Image size 240x240. Image width 240 mm, 1.00 mm slice spacing. Brain. Axial view.
FLAIR MR image.
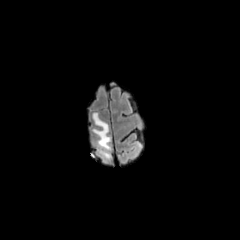
T1-weighted MRI.
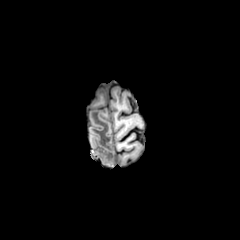
Post-contrast T1-weighted magnetic resonance.
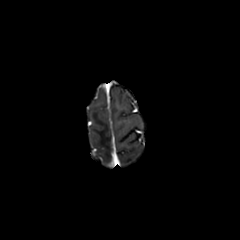
T2-weighted magnetic resonance.
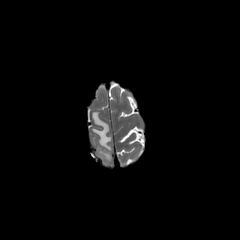
The peritumoral edema is at x1=91, y1=112, x2=111, y2=163.